FLAIR MR image.
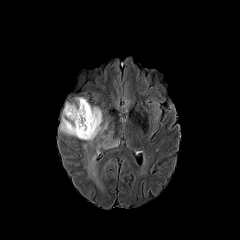
T1-weighted magnetic resonance.
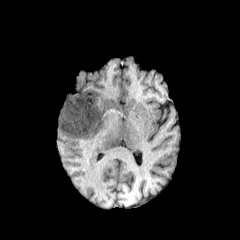
Post-contrast T1-weighted MR image.
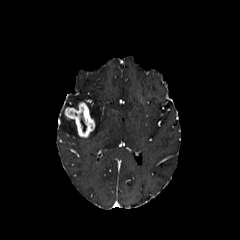
T2-weighted magnetic resonance.
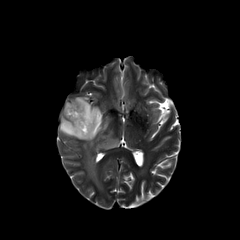
Head.
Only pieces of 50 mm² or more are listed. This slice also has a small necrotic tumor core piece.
peritumoral edema: l=59, t=103, r=119, b=151; l=85, t=155, r=101, b=188; l=65, t=97, r=85, b=107 | enhancing tumor: l=64, t=101, r=95, b=137